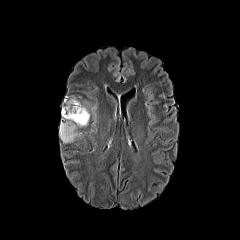
FLAIR MR.
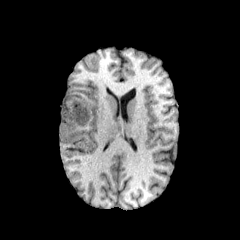
T1-weighted magnetic resonance of the same slice.
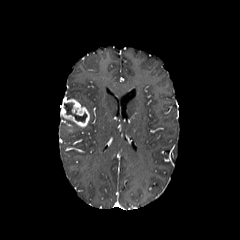
Post-contrast T1-weighted MRI.
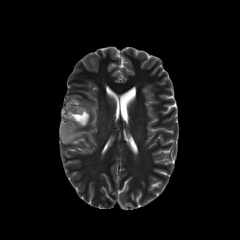
T2-weighted MR image.
Image size 240x240, Brain
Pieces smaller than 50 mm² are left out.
peritumoral edema at bbox=[60, 117, 81, 143]
necrotic tumor core at bbox=[64, 103, 86, 122]
enhancing tumor at bbox=[60, 97, 89, 127]